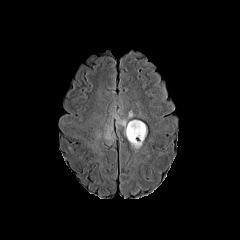
FLAIR MRI.
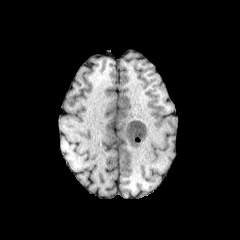
Same slice, T1-weighted MRI.
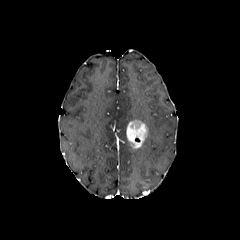
Same slice, post-contrast T1-weighted MR.
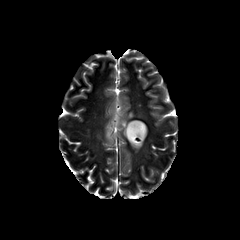
T2-weighted MR image.
Brain, Image size 240x240
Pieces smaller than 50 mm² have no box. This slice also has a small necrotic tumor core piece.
<segmentation>
  <peritumoral_edema>113:111:133:135, 105:127:112:139</peritumoral_edema>
  <enhancing_tumor>126:120:147:148</enhancing_tumor>
</segmentation>